FLAIR MR image.
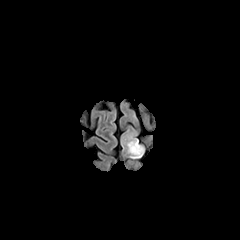
T1-weighted magnetic resonance.
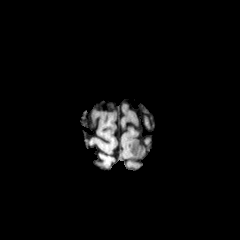
Post-contrast T1-weighted MRI.
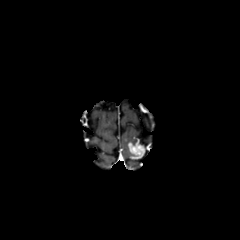
T2-weighted MR image.
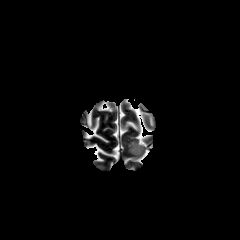
Axial plane. Brain.
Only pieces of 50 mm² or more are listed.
enhancing tumor: 128, 139, 144, 158 | peritumoral edema: 122, 130, 137, 156